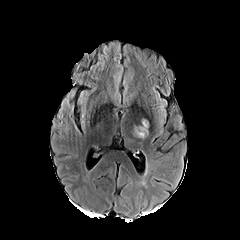
FLAIR MR image.
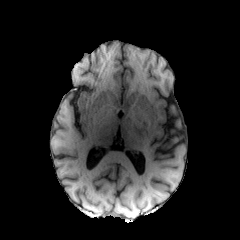
T1-weighted MR image of the same slice.
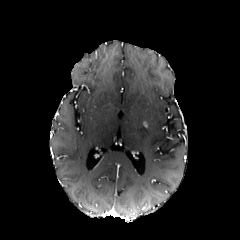
Post-contrast T1-weighted MR image.
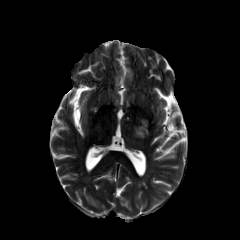
T2-weighted MR.
Axial plane | Brain
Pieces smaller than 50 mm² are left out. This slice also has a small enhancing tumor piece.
The largest peritumoral edema region is at <box>133,125,148,138</box>.